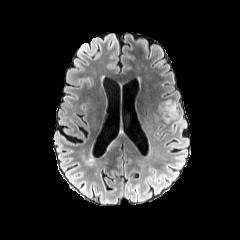
FLAIR MR image.
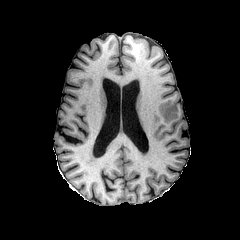
T1-weighted MR.
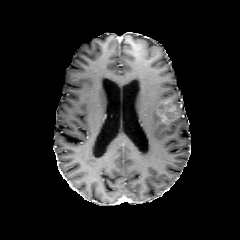
Post-contrast T1-weighted MR of the same slice.
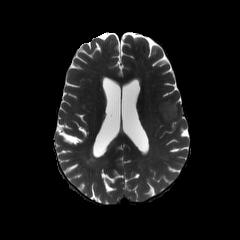
T2-weighted magnetic resonance of the same slice.
Axial plane.
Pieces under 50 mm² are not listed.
The enhancing tumor appears at 161 99 176 122. The largest peritumoral edema region is bounded by 172 101 181 122.